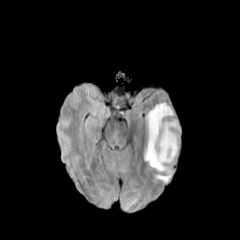
FLAIR MR image.
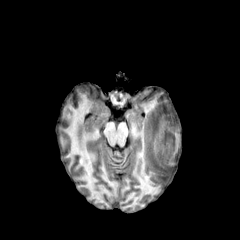
T1-weighted MR of the same slice.
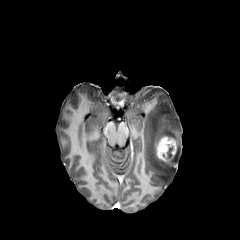
Post-contrast T1-weighted magnetic resonance.
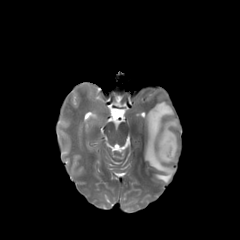
T2-weighted magnetic resonance.
Axial plane | 240x240 px
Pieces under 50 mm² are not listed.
The peritumoral edema is bounded by bbox(145, 102, 179, 182). The largest necrotic tumor core region lies within bbox(170, 145, 180, 162). The enhancing tumor is bounded by bbox(155, 135, 177, 166).